FLAIR MR.
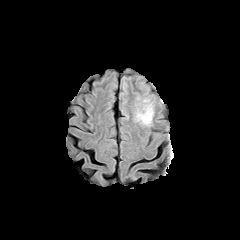
T1-weighted MR image.
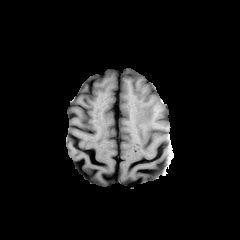
Post-contrast T1-weighted MRI.
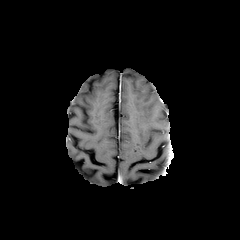
T2-weighted MR image.
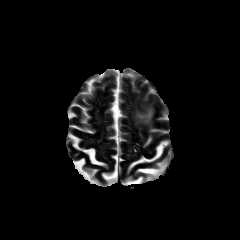
peritumoral edema: bounding box 136,106,152,124